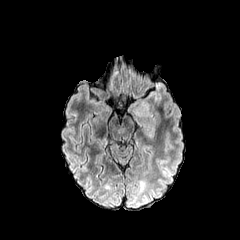
FLAIR MR image.
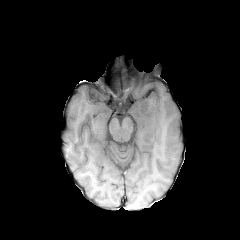
T1-weighted MR image.
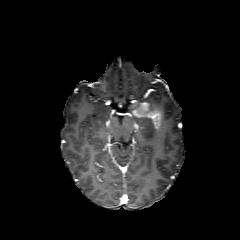
Same slice, post-contrast T1-weighted MRI.
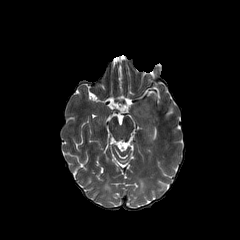
T2-weighted magnetic resonance of the same slice.
Head
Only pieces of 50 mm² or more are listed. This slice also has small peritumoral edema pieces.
enhancing tumor: bbox(132, 102, 160, 123)